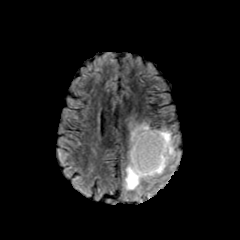
FLAIR MR image.
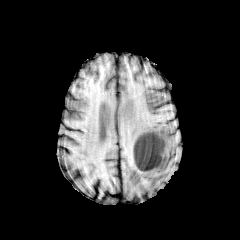
Same slice, T1-weighted MRI.
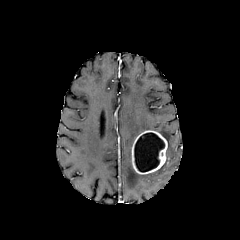
Post-contrast T1-weighted MR image.
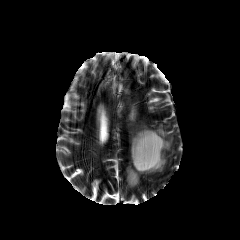
T2-weighted MRI.
Brain. Axial plane.
Annotated regions:
• peritumoral edema: l=125, t=122, r=174, b=189
• necrotic tumor core: l=134, t=133, r=164, b=172
• enhancing tumor: l=131, t=130, r=167, b=174